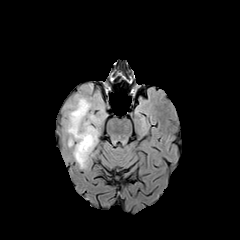
FLAIR MR.
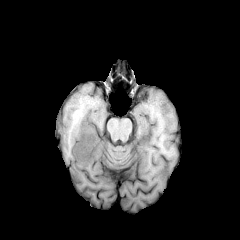
Same slice, T1-weighted MR image.
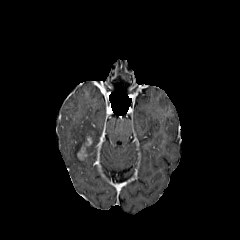
Post-contrast T1-weighted MR image.
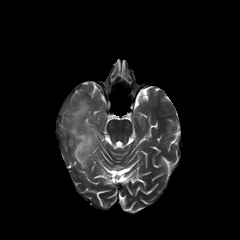
T2-weighted MR.
240x240, Axial slice
<segmentation>
  <peritumoral_edema>(x1=58, y1=82, x2=108, y2=170)</peritumoral_edema>
  <enhancing_tumor>(x1=77, y1=136, x2=92, y2=160)</enhancing_tumor>
</segmentation>